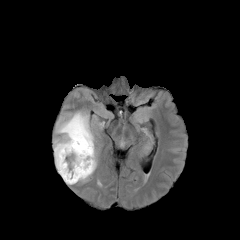
FLAIR MR image.
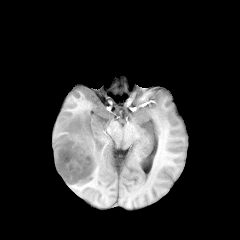
T1-weighted MR of the same slice.
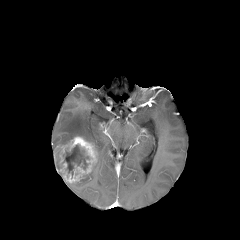
Post-contrast T1-weighted MR image of the same slice.
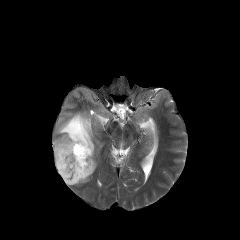
Same slice, T2-weighted magnetic resonance.
Brain; 240x240 px
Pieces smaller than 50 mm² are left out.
enhancing tumor at (57,136,96,183)
necrotic tumor core at (64,145,88,176)
peritumoral edema at (53,111,97,182)